Axial plane, Slice index 110, Brain
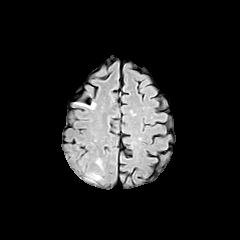
FLAIR MR.
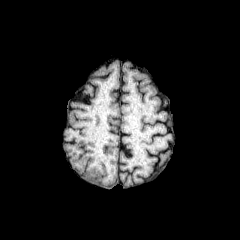
Same slice, T1-weighted MRI.
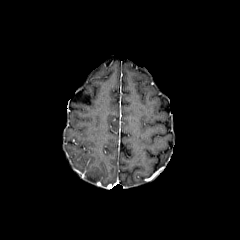
Post-contrast T1-weighted MR.
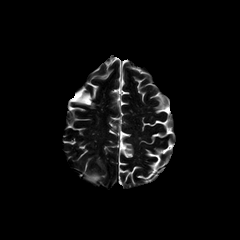
T2-weighted MR.
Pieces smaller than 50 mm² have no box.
- peritumoral edema: (86,172,100,182)